FLAIR MRI.
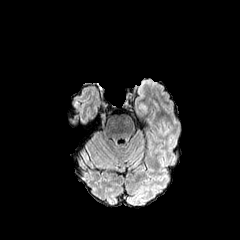
T1-weighted MR image.
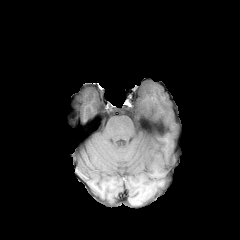
Post-contrast T1-weighted MR.
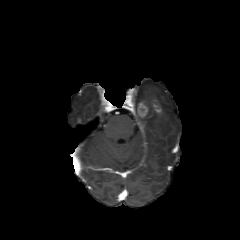
T2-weighted MR.
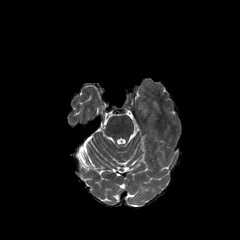
Head.
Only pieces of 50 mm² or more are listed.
The largest enhancing tumor region lies within 137:102:148:118.